FLAIR magnetic resonance.
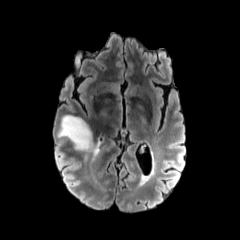
T1-weighted MR.
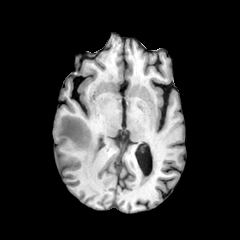
Post-contrast T1-weighted magnetic resonance.
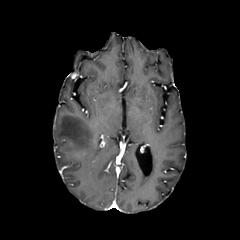
T2-weighted MR.
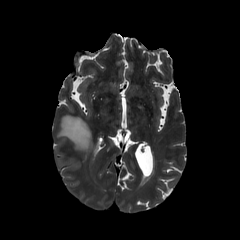
Brain. 240x240.
The peritumoral edema lies within [57, 115, 101, 154].